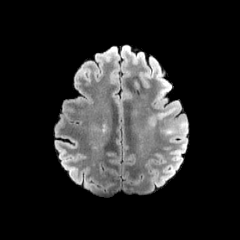
FLAIR MR image.
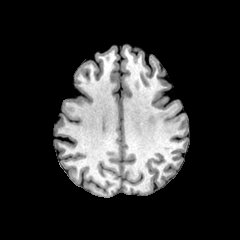
Same slice, T1-weighted MR image.
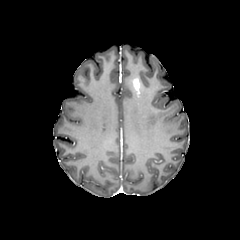
Same slice, post-contrast T1-weighted MRI.
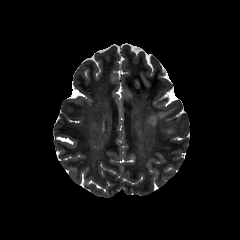
T2-weighted MR image of the same slice.
Axial view.
<segmentation>
  <enhancing_tumor>133,79,139,90</enhancing_tumor>
  <peritumoral_edema>149,108,174,125</peritumoral_edema>
</segmentation>